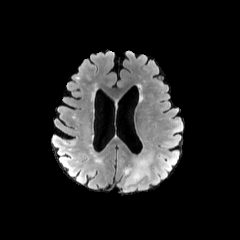
FLAIR MR image.
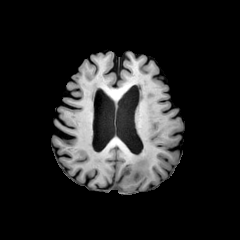
T1-weighted MR image.
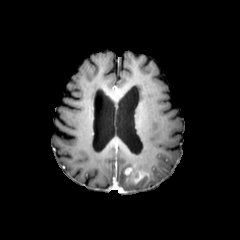
Same slice, post-contrast T1-weighted MRI.
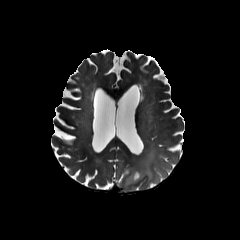
T2-weighted magnetic resonance.
Brain; Axial view
peritumoral edema at x1=117 y1=149 x2=159 y2=192
enhancing tumor at x1=121 y1=167 x2=147 y2=186